FLAIR MR image.
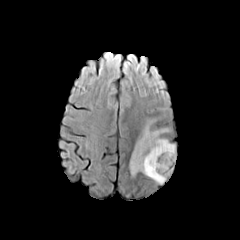
T1-weighted magnetic resonance.
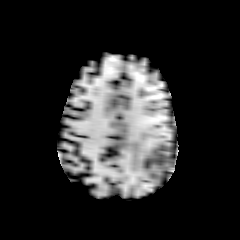
Post-contrast T1-weighted MRI.
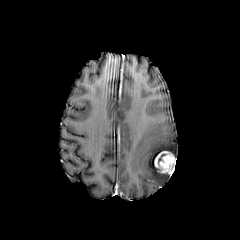
T2-weighted magnetic resonance.
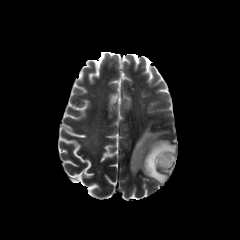
Axial view
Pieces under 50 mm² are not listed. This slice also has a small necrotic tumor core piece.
enhancing tumor = (154, 151, 175, 173)
peritumoral edema = (130, 121, 175, 184)